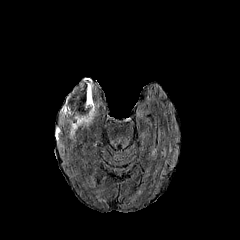
FLAIR MR.
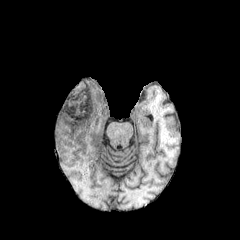
T1-weighted MRI of the same slice.
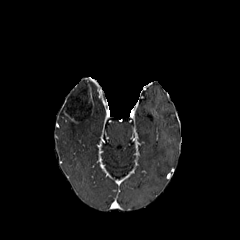
Post-contrast T1-weighted MR image of the same slice.
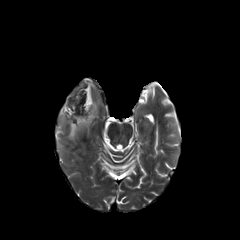
T2-weighted magnetic resonance.
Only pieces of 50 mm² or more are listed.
peritumoral_edema:
  - rect(67, 102, 98, 139)
enhancing_tumor:
  - rect(88, 84, 93, 115)
  - rect(70, 82, 86, 96)
necrotic_tumor_core:
  - rect(65, 81, 92, 122)